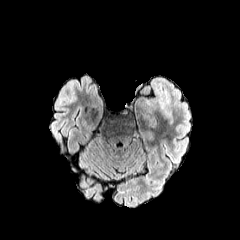
FLAIR MRI.
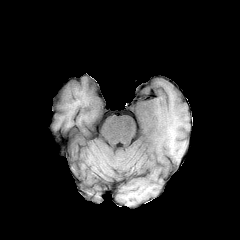
Same slice, T1-weighted MRI.
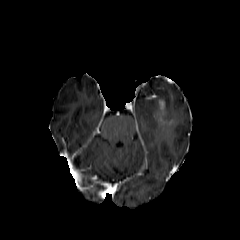
Post-contrast T1-weighted MR of the same slice.
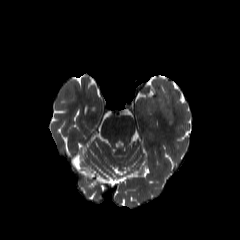
T2-weighted magnetic resonance.
Brain; Axial view
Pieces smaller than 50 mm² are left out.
The largest peritumoral edema region is located at box(158, 97, 170, 117). The enhancing tumor lies within box(159, 100, 164, 109).